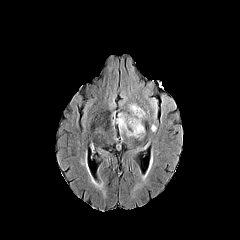
FLAIR MR.
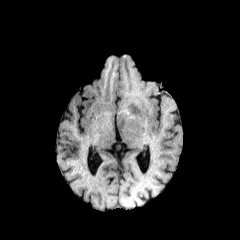
T1-weighted MRI.
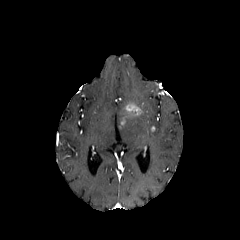
Post-contrast T1-weighted magnetic resonance of the same slice.
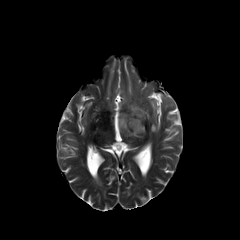
T2-weighted MR image.
Image size 240x240; Axial view
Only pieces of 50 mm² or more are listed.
{"enhancing_tumor": ["x1=126 y1=103 x2=142 y2=115"], "peritumoral_edema": ["x1=117 y1=111 x2=144 y2=138"]}